240x240; Brain; Axial slice
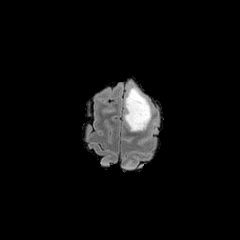
FLAIR MR.
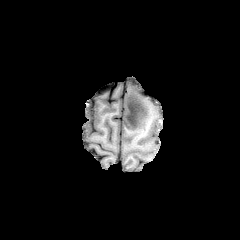
T1-weighted magnetic resonance.
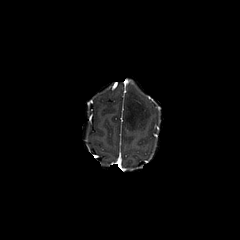
Post-contrast T1-weighted MR image of the same slice.
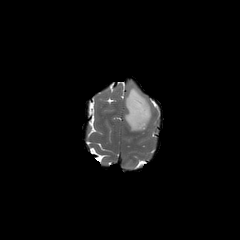
T2-weighted MR image.
{
  "necrotic_tumor_core": [
    "x1=125 y1=105 x2=138 y2=126"
  ],
  "peritumoral_edema": [
    "x1=125 y1=87 x2=150 y2=130"
  ]
}